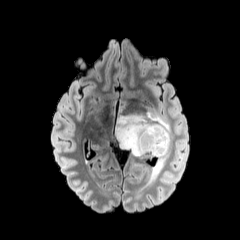
FLAIR magnetic resonance.
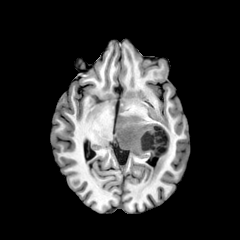
T1-weighted magnetic resonance.
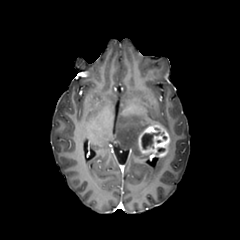
Post-contrast T1-weighted MR image.
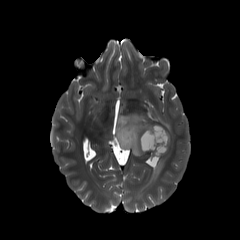
T2-weighted MRI.
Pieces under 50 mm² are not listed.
<segmentation>
  <enhancing_tumor>(left=138, top=124, right=169, bottom=157)</enhancing_tumor>
  <necrotic_tumor_core>(left=141, top=128, right=160, bottom=149)</necrotic_tumor_core>
  <peritumoral_edema>(left=143, top=153, right=167, bottom=188), (left=116, top=111, right=171, bottom=156)</peritumoral_edema>
</segmentation>